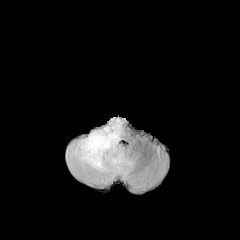
FLAIR MR.
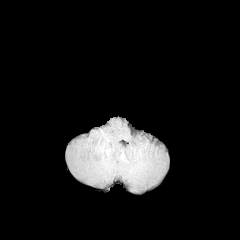
T1-weighted MR image.
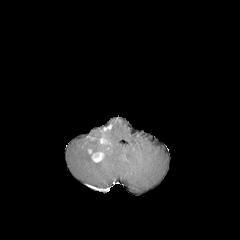
Post-contrast T1-weighted MRI.
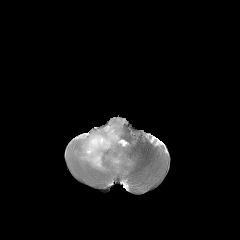
T2-weighted MR.
Brain
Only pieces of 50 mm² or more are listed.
<segmentation>
  <enhancing_tumor>bbox=[88, 149, 104, 162]; bbox=[99, 137, 109, 144]</enhancing_tumor>
  <peritumoral_edema>bbox=[66, 117, 133, 183]</peritumoral_edema>
</segmentation>